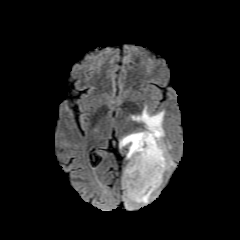
FLAIR MR image.
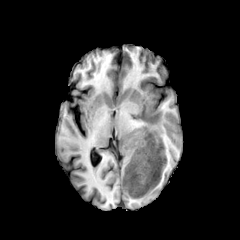
T1-weighted MR image.
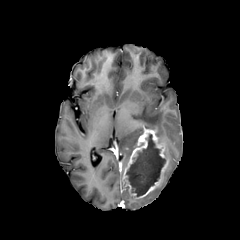
Post-contrast T1-weighted MRI.
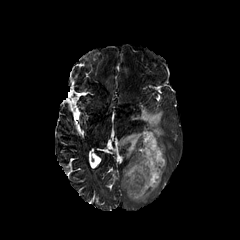
T2-weighted MRI of the same slice.
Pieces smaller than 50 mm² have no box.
enhancing tumor: [x1=122, y1=129, x2=168, y2=198]
peritumoral edema: [x1=125, y1=187, x2=158, y2=205], [x1=165, y1=144, x2=173, y2=170], [x1=131, y1=107, x2=164, y2=141], [x1=119, y1=131, x2=143, y2=159]
necrotic tumor core: [x1=126, y1=134, x2=165, y2=196]